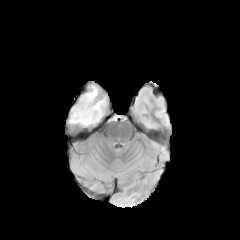
FLAIR MR image.
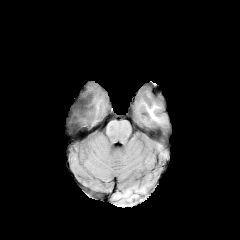
T1-weighted MR.
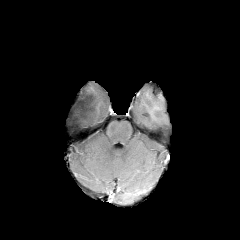
Post-contrast T1-weighted MR.
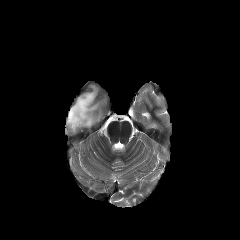
T2-weighted MR of the same slice.
Head
The peritumoral edema appears at box=[65, 82, 109, 135].